Axial slice. Image size 240x240. Slice 104 of 155.
FLAIR magnetic resonance.
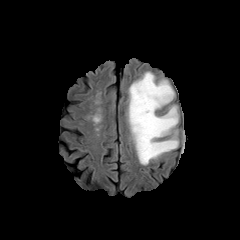
T1-weighted MRI.
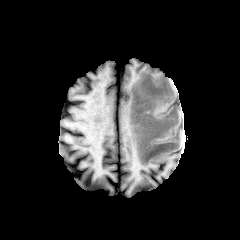
Post-contrast T1-weighted MRI.
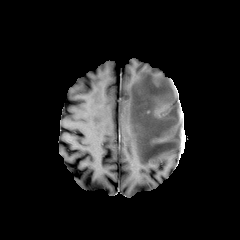
T2-weighted MRI.
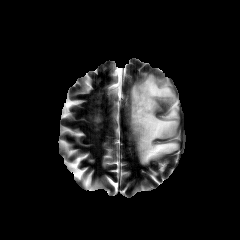
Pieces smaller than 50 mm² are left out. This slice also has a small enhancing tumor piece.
peritumoral_edema:
  - x1=128, y1=72, x2=179, y2=165